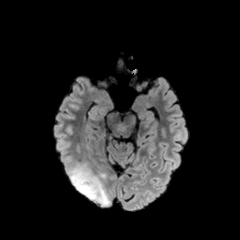
FLAIR MR.
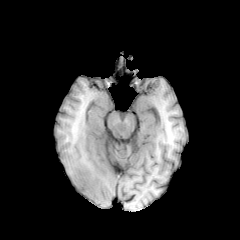
T1-weighted MRI.
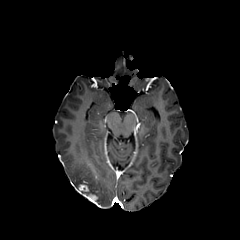
Same slice, post-contrast T1-weighted magnetic resonance.
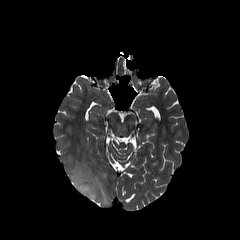
Same slice, T2-weighted MR image.
Head
The peritumoral edema appears at {"x1": 68, "y1": 163, "x2": 109, "y2": 205}. 2 enhancing tumor regions are bounded by {"x1": 78, "y1": 183, "x2": 89, "y2": 191}, {"x1": 86, "y1": 194, "x2": 97, "y2": 202}.